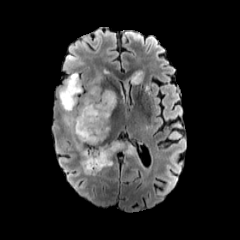
FLAIR MRI.
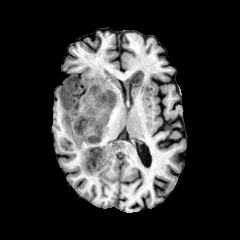
T1-weighted MR image of the same slice.
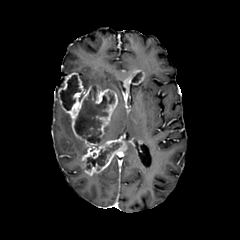
Post-contrast T1-weighted MRI of the same slice.
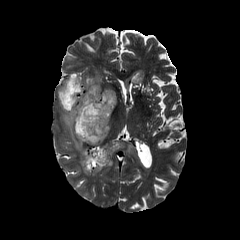
T2-weighted MR image of the same slice.
Brain | Axial plane
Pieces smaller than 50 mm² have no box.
enhancing tumor at (x1=95, y1=85, x2=117, y2=137), (x1=58, y1=73, x2=126, y2=175)
necrotic tumor core at (x1=60, y1=75, x2=80, y2=110), (x1=85, y1=142, x2=121, y2=169), (x1=132, y1=72, x2=142, y2=82), (x1=74, y1=85, x2=114, y2=143)
peritumoral edema at (x1=89, y1=74, x2=101, y2=85), (x1=98, y1=126, x2=109, y2=144), (x1=63, y1=113, x2=86, y2=155), (x1=119, y1=144, x2=135, y2=154)